FLAIR magnetic resonance.
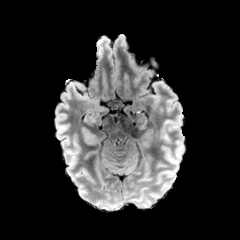
T1-weighted MR.
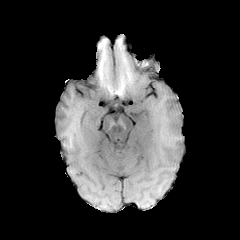
Post-contrast T1-weighted MR.
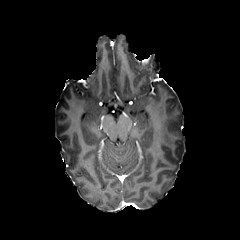
T2-weighted MR.
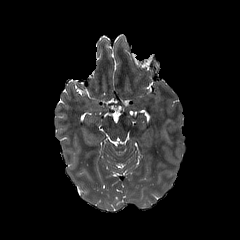
Axial slice | Image size 240x240 | Brain
peritumoral edema at <bbox>165, 120, 179, 126</bbox>, <bbox>163, 130, 170, 143</bbox>